FLAIR magnetic resonance.
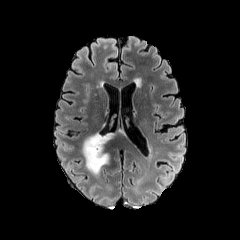
T1-weighted magnetic resonance.
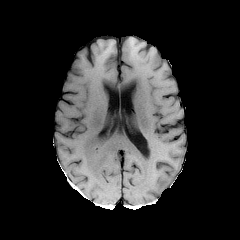
Post-contrast T1-weighted MRI.
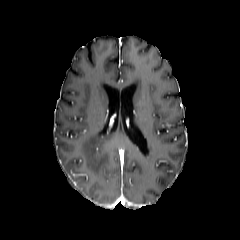
T2-weighted MR image.
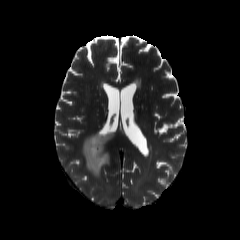
Axial slice. Head.
• peritumoral edema: (x1=82, y1=133, x2=114, y2=176)